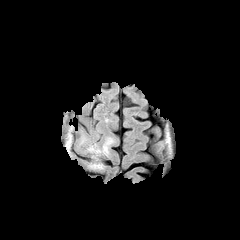
FLAIR MR.
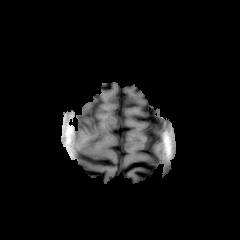
Same slice, T1-weighted MRI.
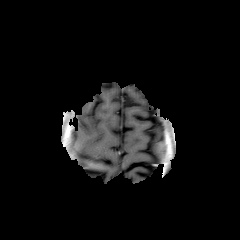
Post-contrast T1-weighted MR image.
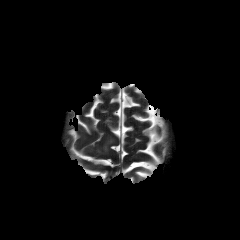
T2-weighted MR image.
Brain.
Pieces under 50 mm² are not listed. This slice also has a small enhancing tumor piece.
peritumoral edema — <bbox>89, 138, 113, 154</bbox>